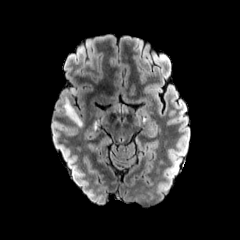
FLAIR MR.
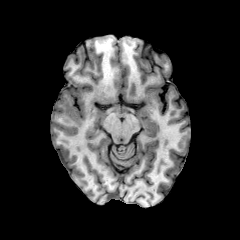
Same slice, T1-weighted MR image.
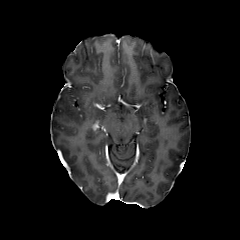
Post-contrast T1-weighted MR of the same slice.
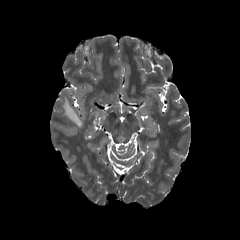
T2-weighted MR image.
Axial plane.
Findings:
* peritumoral edema: (left=63, top=98, right=82, bottom=126)